Axial slice; Brain
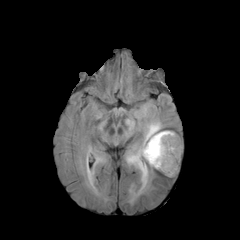
FLAIR MR image.
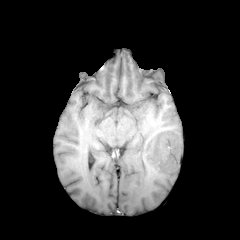
T1-weighted MRI of the same slice.
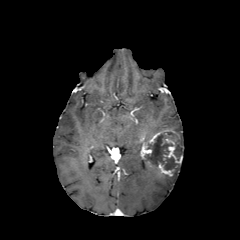
Post-contrast T1-weighted MRI.
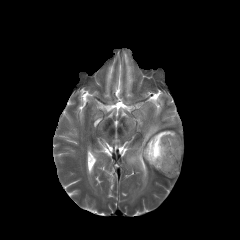
T2-weighted MRI of the same slice.
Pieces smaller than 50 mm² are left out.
necrotic tumor core: bounding box box(145, 134, 176, 170); box(174, 140, 182, 160)
peritumoral edema: bounding box box(126, 120, 163, 202); box(87, 170, 93, 185); box(141, 105, 147, 116)
enhancing tumor: bounding box box(140, 130, 184, 176)